240x240, Axial slice
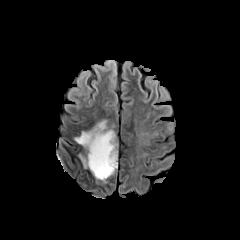
FLAIR magnetic resonance.
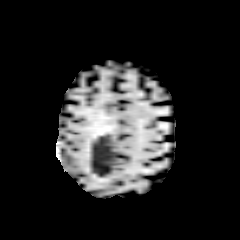
T1-weighted MRI.
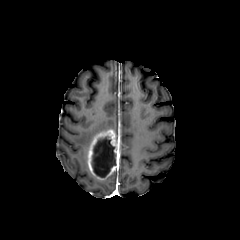
Post-contrast T1-weighted magnetic resonance.
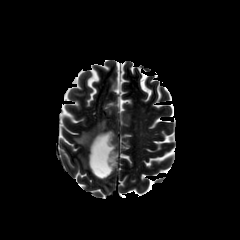
Same slice, T2-weighted MRI.
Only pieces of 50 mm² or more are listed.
The 2 largest peritumoral edema regions are bounded by {"x1": 75, "y1": 120, "x2": 109, "y2": 149}, {"x1": 79, "y1": 155, "x2": 88, "y2": 168}. The enhancing tumor appears at {"x1": 87, "y1": 129, "x2": 118, "y2": 180}. The necrotic tumor core appears at {"x1": 92, "y1": 136, "x2": 116, "y2": 177}.